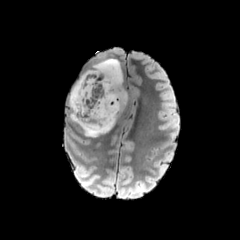
FLAIR MRI.
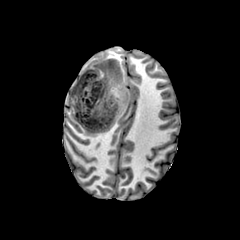
Same slice, T1-weighted magnetic resonance.
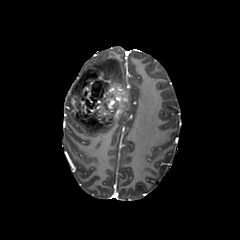
Post-contrast T1-weighted magnetic resonance.
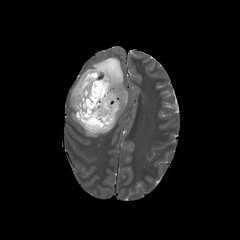
T2-weighted MR image.
Axial plane; Head
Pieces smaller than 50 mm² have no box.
{
  "enhancing_tumor": [
    "71:70:127:125"
  ],
  "necrotic_tumor_core": [
    "78:72:98:94",
    "76:81:107:123"
  ],
  "peritumoral_edema": [
    "69:58:123:110",
    "70:112:119:137"
  ]
}